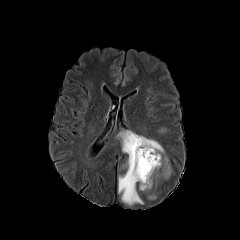
FLAIR MR image.
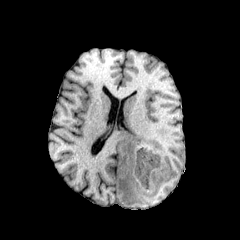
T1-weighted magnetic resonance.
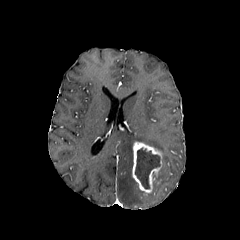
Post-contrast T1-weighted magnetic resonance.
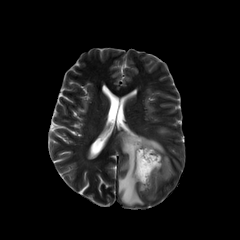
T2-weighted MR image of the same slice.
Axial view. Image size 240x240.
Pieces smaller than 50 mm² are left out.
peritumoral edema: [x1=117, y1=131, x2=164, y2=205], [x1=153, y1=156, x2=170, y2=188]
necrotic tumor core: [x1=135, y1=148, x2=159, y2=188]
enhancing tumor: [x1=132, y1=141, x2=164, y2=194]